FLAIR MR.
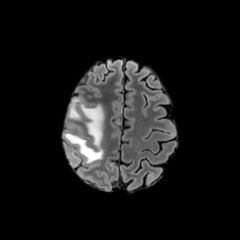
T1-weighted MR.
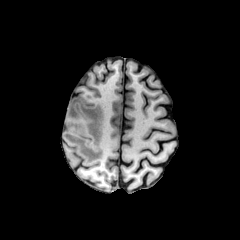
Post-contrast T1-weighted magnetic resonance.
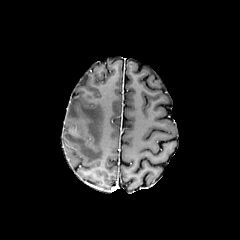
T2-weighted MR.
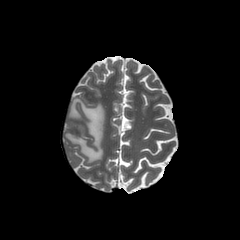
Axial view
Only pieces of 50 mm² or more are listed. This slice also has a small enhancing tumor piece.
The largest peritumoral edema region is bounded by [x1=64, y1=98, x2=104, y2=163].